Slice index 101
FLAIR MRI.
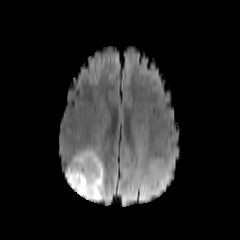
T1-weighted MR.
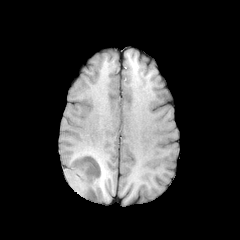
Post-contrast T1-weighted MR image.
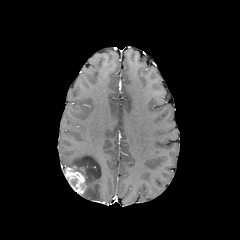
T2-weighted MR image.
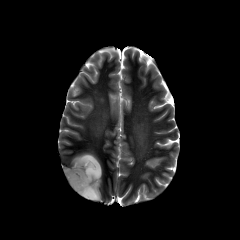
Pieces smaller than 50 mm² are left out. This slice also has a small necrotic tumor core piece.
Segmented structures:
* peritumoral edema: box=[70, 150, 104, 200]
* enhancing tumor: box=[65, 166, 86, 195]